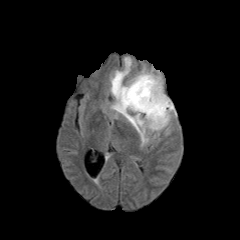
FLAIR MR.
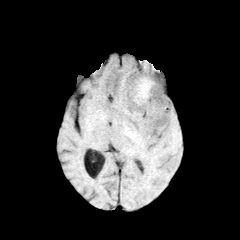
Same slice, T1-weighted MRI.
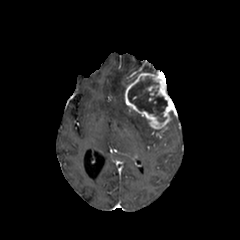
Post-contrast T1-weighted magnetic resonance of the same slice.
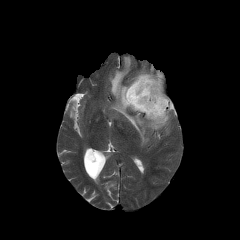
Same slice, T2-weighted MR image.
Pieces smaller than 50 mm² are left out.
enhancing tumor: 124 72 176 129 | necrotic tumor core: 128 77 167 121 | peritumoral edema: 110 57 169 146